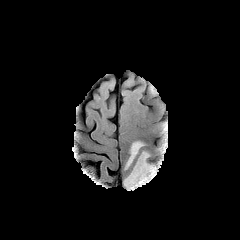
FLAIR MR.
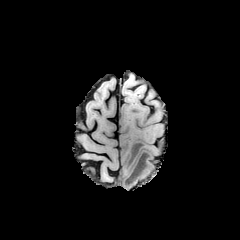
Same slice, T1-weighted magnetic resonance.
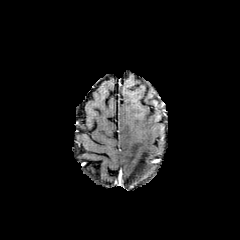
Post-contrast T1-weighted MR.
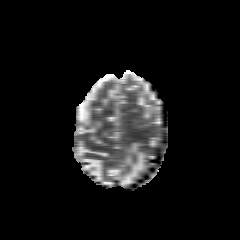
T2-weighted MR.
Head, 240x240
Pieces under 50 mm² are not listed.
peritumoral_edema:
  - box(123, 141, 153, 187)